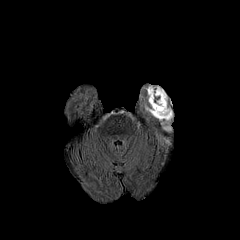
FLAIR MRI.
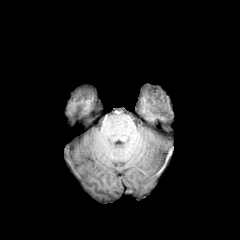
Same slice, T1-weighted MR.
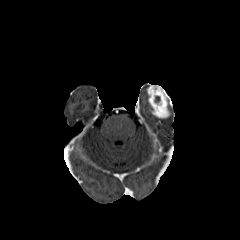
Post-contrast T1-weighted MR image.
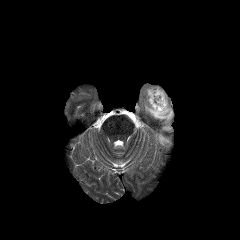
T2-weighted MRI.
Brain. 240x240.
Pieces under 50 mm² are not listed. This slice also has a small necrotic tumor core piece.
Findings:
- enhancing tumor: x1=147 y1=86 x2=170 y2=118
- peritumoral edema: x1=163 y1=105 x2=172 y2=130, x1=144 y1=104 x2=162 y2=119